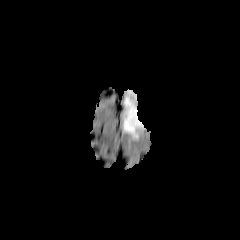
FLAIR MR.
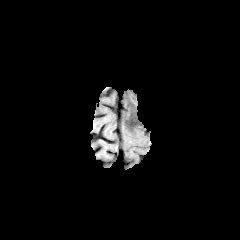
T1-weighted MRI.
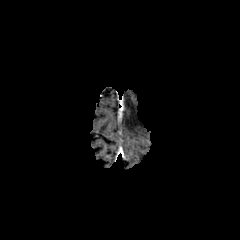
Post-contrast T1-weighted magnetic resonance.
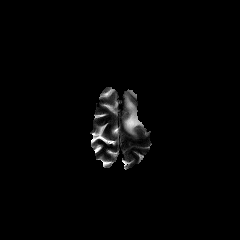
Same slice, T2-weighted magnetic resonance.
Image size 240x240 | Brain
The peritumoral edema is bounded by <box>123,90,143,138</box>.